Brain, Axial slice, Slice index 107
FLAIR magnetic resonance.
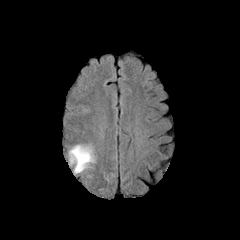
T1-weighted MRI.
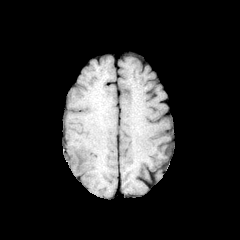
Post-contrast T1-weighted MRI.
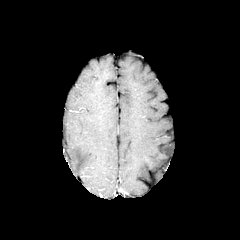
T2-weighted MRI.
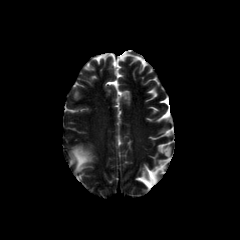
peritumoral edema: region(69, 145, 94, 174)